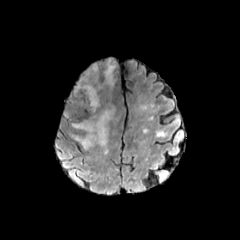
FLAIR MR image.
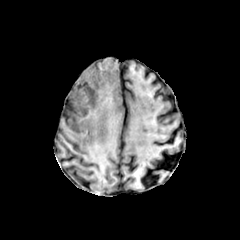
T1-weighted MR.
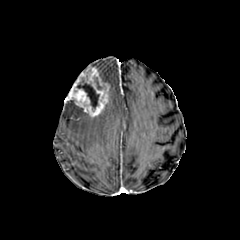
Post-contrast T1-weighted magnetic resonance of the same slice.
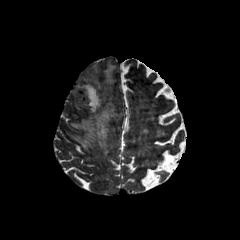
T2-weighted MR of the same slice.
Axial plane
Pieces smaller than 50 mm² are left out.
Annotated regions:
- peritumoral edema: (103, 60, 115, 88), (72, 109, 113, 149)
- necrotic tumor core: (77, 79, 99, 108)
- enhancing tumor: (68, 66, 109, 117)